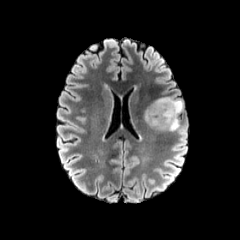
FLAIR MRI.
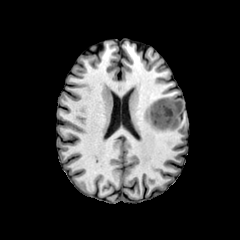
T1-weighted MR image of the same slice.
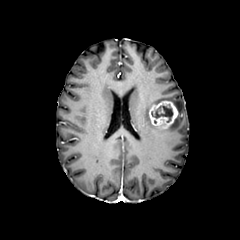
Post-contrast T1-weighted magnetic resonance of the same slice.
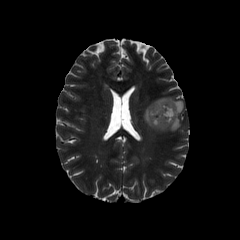
T2-weighted magnetic resonance.
Head
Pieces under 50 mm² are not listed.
• necrotic tumor core: (151,105,173,122)
• peritumoral edema: (144,106,156,127), (154,97,183,113), (168,117,180,131)
• enhancing tumor: (149,101,178,128)